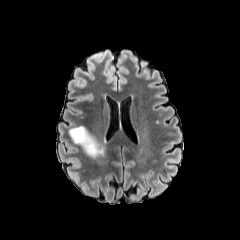
FLAIR MRI.
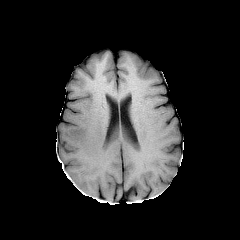
Same slice, T1-weighted MR.
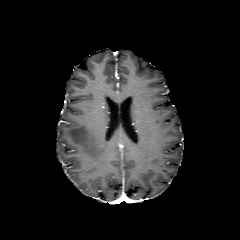
Post-contrast T1-weighted MRI.
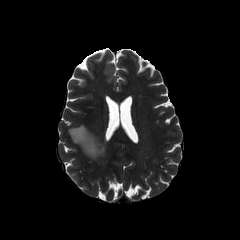
T2-weighted magnetic resonance of the same slice.
Axial view; Brain
Segmented structures:
* peritumoral edema: (left=69, top=126, right=104, bottom=158)